Head, Image size 240x240, Slice 124 of 155
FLAIR MRI.
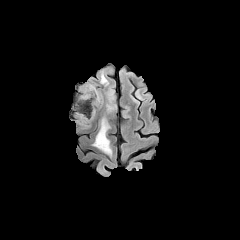
T1-weighted MR image.
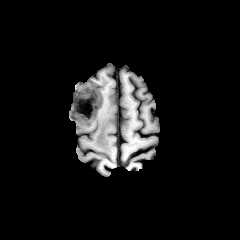
Post-contrast T1-weighted MRI.
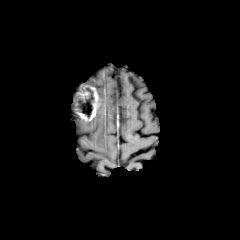
T2-weighted MR.
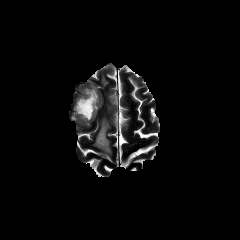
Segmented structures:
- enhancing tumor: l=74, t=83, r=100, b=122
- necrotic tumor core: l=79, t=87, r=94, b=117
- peritumoral edema: l=93, t=119, r=111, b=154; l=105, t=84, r=116, b=110; l=100, t=72, r=107, b=83